Axial view | Head | 240x240
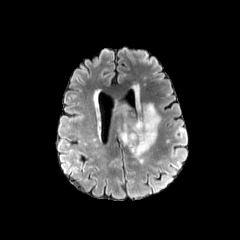
FLAIR MRI.
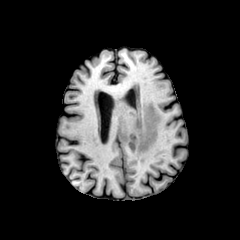
T1-weighted MR.
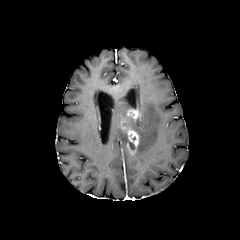
Post-contrast T1-weighted MR image.
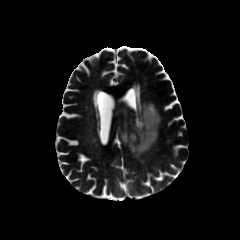
T2-weighted MRI of the same slice.
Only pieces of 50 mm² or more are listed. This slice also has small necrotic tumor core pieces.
Findings:
• enhancing tumor: 120, 107, 139, 124; 123, 127, 138, 155
• peritumoral edema: 116, 89, 160, 156